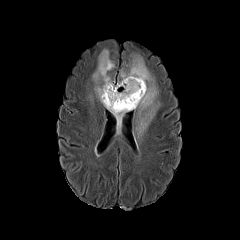
FLAIR MR.
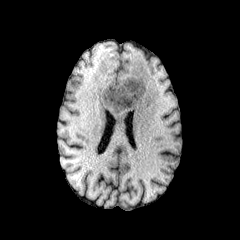
Same slice, T1-weighted MR.
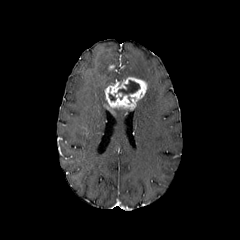
Same slice, post-contrast T1-weighted MR image.
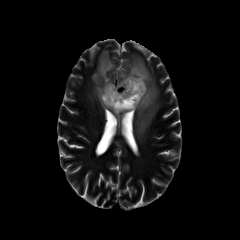
T2-weighted MR image of the same slice.
Axial plane. Brain.
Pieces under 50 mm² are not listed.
enhancing_tumor:
  - region(104, 77, 147, 111)
peritumoral_edema:
  - region(92, 50, 114, 106)
  - region(120, 55, 159, 137)
  - region(111, 109, 129, 130)
necrotic_tumor_core:
  - region(118, 80, 139, 94)